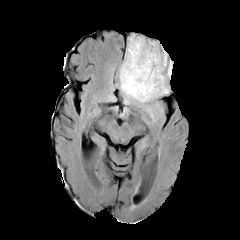
FLAIR MRI.
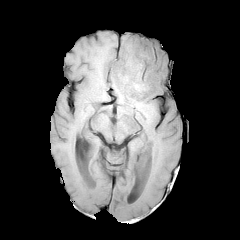
T1-weighted MRI.
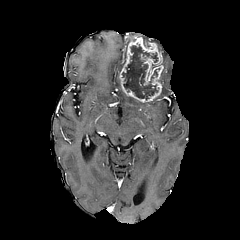
Post-contrast T1-weighted MR image.
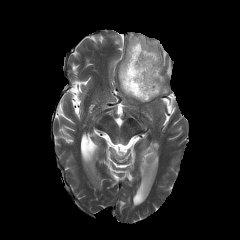
T2-weighted magnetic resonance of the same slice.
Brain; 240x240 px
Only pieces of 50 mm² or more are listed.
peritumoral edema = <box>162,51,167,69</box>, <box>119,79,141,103</box>, <box>159,62,171,94</box>
necrotic tumor core = <box>122,45,157,99</box>
enhancing tumor = <box>119,35,163,102</box>